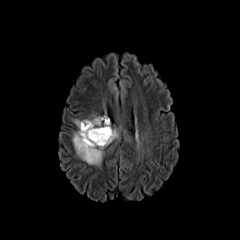
FLAIR MR image.
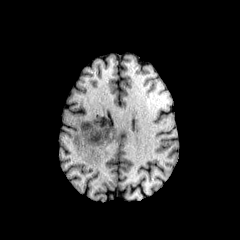
T1-weighted MRI of the same slice.
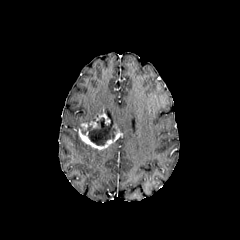
Post-contrast T1-weighted magnetic resonance.
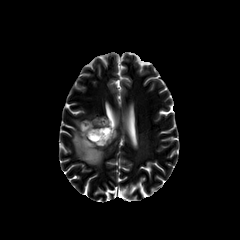
T2-weighted MR image of the same slice.
Head; Axial plane
enhancing tumor — <bbox>81, 114, 110, 130</bbox>, <bbox>78, 128, 119, 149</bbox>
necrotic tumor core — <bbox>80, 118, 116, 145</bbox>
peritumoral edema — <bbox>73, 115, 96, 130</bbox>, <bbox>72, 131, 103, 165</bbox>